FLAIR MR.
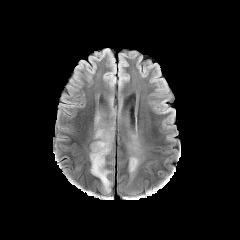
T1-weighted MRI.
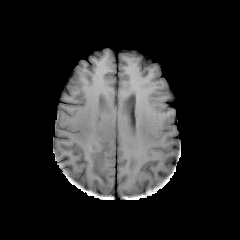
Post-contrast T1-weighted MR image.
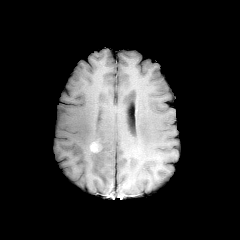
T2-weighted MR image.
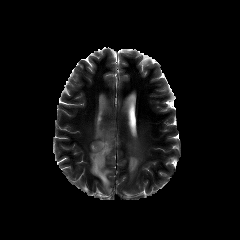
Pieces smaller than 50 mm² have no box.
peritumoral edema = l=90, t=126, r=113, b=191; l=129, t=156, r=139, b=174
enhancing tumor = l=90, t=142, r=99, b=152